Image size 240x240, Axial view
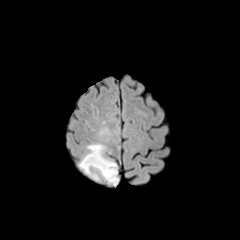
FLAIR MR image.
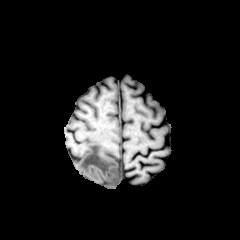
Same slice, T1-weighted MRI.
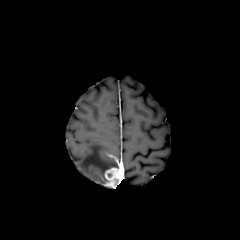
Same slice, post-contrast T1-weighted MRI.
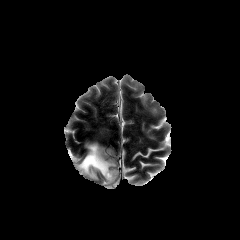
T2-weighted magnetic resonance.
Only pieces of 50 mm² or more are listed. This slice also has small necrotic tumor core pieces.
Findings:
* enhancing tumor: left=105, top=167, right=119, bottom=187
* peritumoral edema: left=79, top=144, right=116, bottom=177